Slice 83/155
FLAIR MRI.
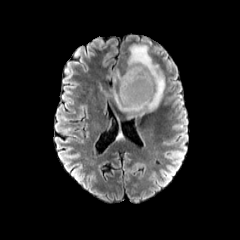
T1-weighted magnetic resonance.
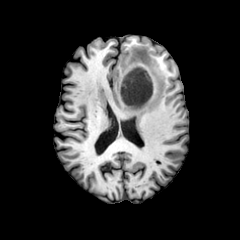
Post-contrast T1-weighted MR.
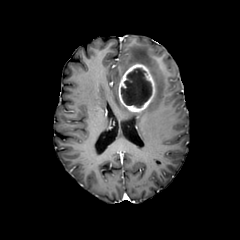
T2-weighted MR.
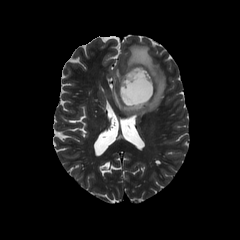
peritumoral edema = left=114, top=70, right=122, bottom=83; left=114, top=45, right=165, bottom=117
enhancing tumor = left=118, top=64, right=156, bottom=112
necrotic tumor core = left=121, top=68, right=151, bottom=107